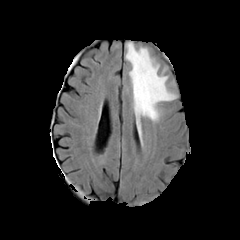
FLAIR MRI.
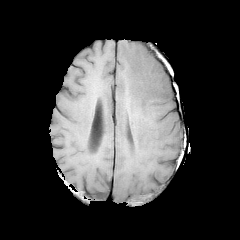
T1-weighted MR image.
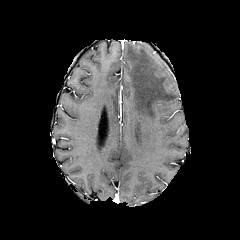
Same slice, post-contrast T1-weighted magnetic resonance.
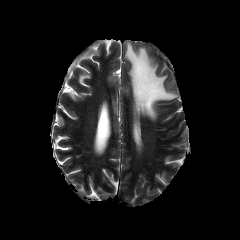
T2-weighted MRI.
peritumoral edema: 125,42,176,126